Brain. Slice index 47. 240x240.
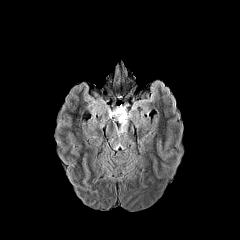
FLAIR MRI.
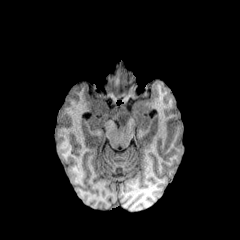
T1-weighted MR image of the same slice.
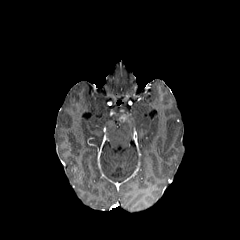
Post-contrast T1-weighted magnetic resonance.
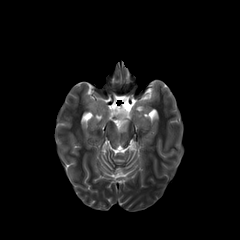
T2-weighted MR image of the same slice.
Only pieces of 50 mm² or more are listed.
- enhancing tumor: x1=119, y1=113, x2=129, y2=122
- peritumoral edema: x1=108, y1=105, x2=132, y2=137; x1=88, y1=100, x2=106, y2=113